Slice index 76.
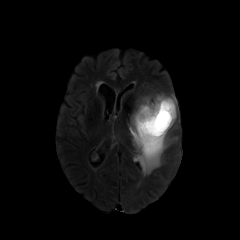
FLAIR MRI.
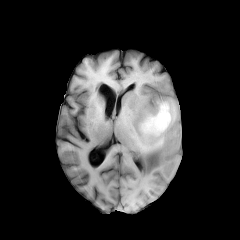
T1-weighted MR of the same slice.
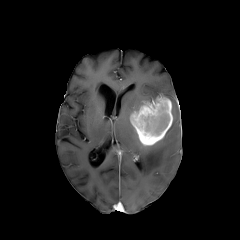
Post-contrast T1-weighted MR.
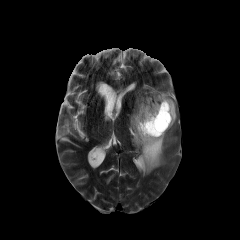
T2-weighted MR.
{"peritumoral_edema": ["rect(135, 96, 152, 110)", "rect(129, 92, 178, 175)"], "necrotic_tumor_core": ["rect(158, 114, 168, 129)"], "enhancing_tumor": ["rect(130, 95, 173, 145)"]}